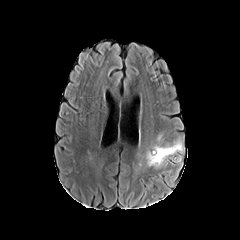
FLAIR magnetic resonance.
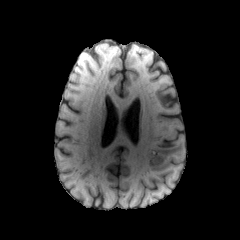
Same slice, T1-weighted MR image.
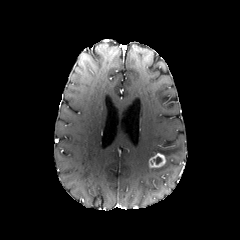
Same slice, post-contrast T1-weighted magnetic resonance.
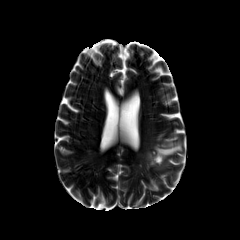
T2-weighted MRI.
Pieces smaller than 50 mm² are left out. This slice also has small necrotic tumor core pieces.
peritumoral edema — bbox(145, 135, 184, 166)
enhancing tumor — bbox(149, 153, 165, 167)